Axial view; 240x240 px
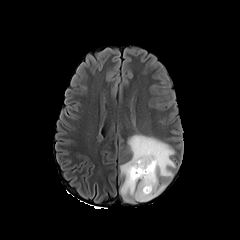
FLAIR MRI.
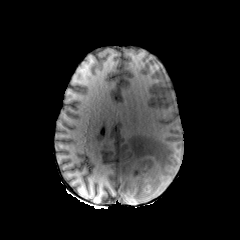
Same slice, T1-weighted MR image.
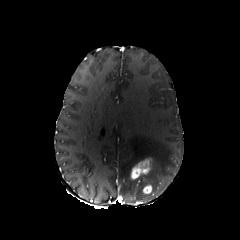
Post-contrast T1-weighted MR.
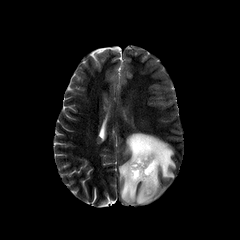
T2-weighted magnetic resonance.
enhancing tumor: box=[142, 185, 152, 194]; box=[130, 158, 152, 179] | peritumoral edema: box=[119, 133, 176, 203]